Image size 240x240, Slice 91 of 155, Image width 240 mm
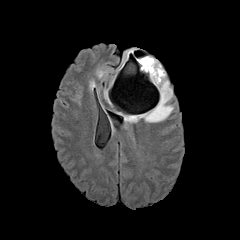
FLAIR magnetic resonance.
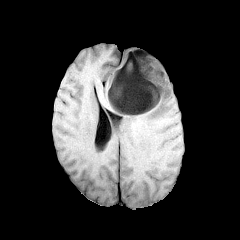
T1-weighted MR.
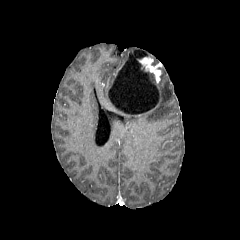
Same slice, post-contrast T1-weighted MRI.
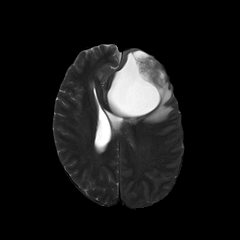
T2-weighted MR image.
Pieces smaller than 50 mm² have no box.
<segmentation>
  <peritumoral_edema>(125,68,173,122)</peritumoral_edema>
  <necrotic_tumor_core>(108,50,159,115)</necrotic_tumor_core>
  <enhancing_tumor>(139,57,161,83)</enhancing_tumor>
</segmentation>